FLAIR MRI.
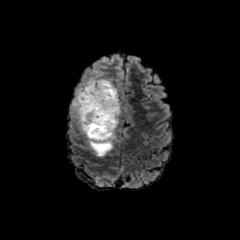
T1-weighted magnetic resonance.
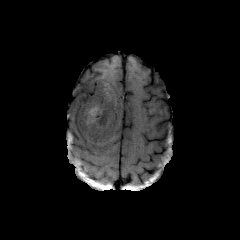
Post-contrast T1-weighted MR image.
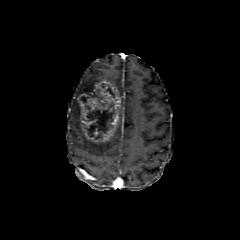
T2-weighted MR.
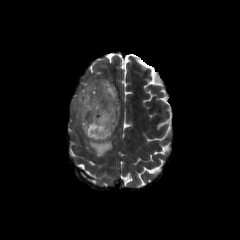
Brain
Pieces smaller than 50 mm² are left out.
The 2 largest peritumoral edema regions appear at [87,133,116,156], [71,78,106,126]. The enhancing tumor appears at [77,80,120,142]. The largest necrotic tumor core region is at [85,105,114,136].